Brain. Axial plane. 240x240.
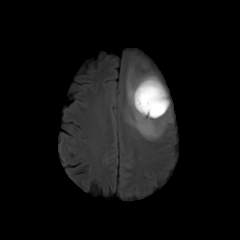
FLAIR MRI.
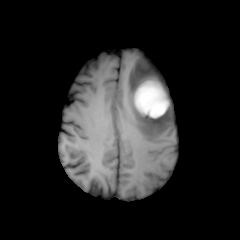
T1-weighted MR.
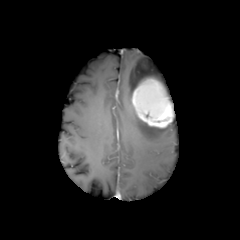
Post-contrast T1-weighted MR.
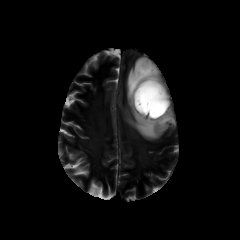
T2-weighted MR image of the same slice.
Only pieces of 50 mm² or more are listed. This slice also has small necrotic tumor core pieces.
The enhancing tumor lies within (132, 79, 173, 127). The largest peritumoral edema region is at (126, 58, 168, 140).